240x240 px; Axial view; Head; Slice 82/155
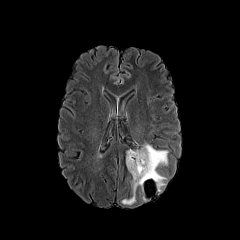
FLAIR magnetic resonance.
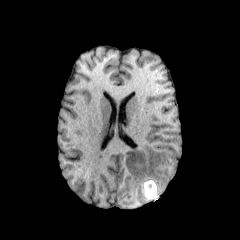
Same slice, T1-weighted MRI.
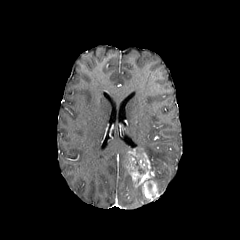
Post-contrast T1-weighted MRI.
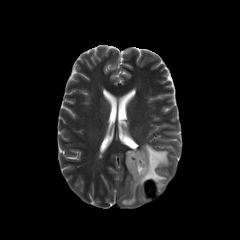
T2-weighted magnetic resonance of the same slice.
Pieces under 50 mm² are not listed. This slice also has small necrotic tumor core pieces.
{
  "enhancing_tumor": [
    "<bbox>126, 150, 154, 186</bbox>"
  ],
  "peritumoral_edema": [
    "<bbox>121, 180, 136, 205</bbox>",
    "<bbox>139, 184, 145, 200</bbox>",
    "<bbox>140, 143, 168, 192</bbox>"
  ]
}